Axial plane; Head; Slice index 81; 240x240
FLAIR MRI.
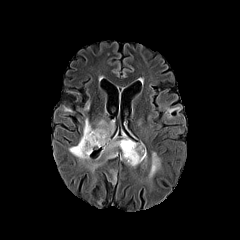
T1-weighted MR image.
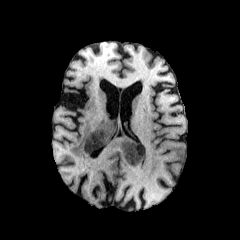
Post-contrast T1-weighted MR image.
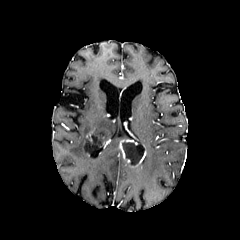
T2-weighted MR image.
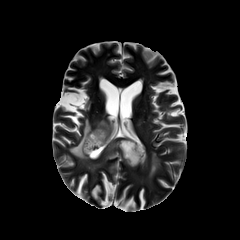
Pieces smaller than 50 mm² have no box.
The 2 largest enhancing tumor regions are located at bbox(130, 144, 146, 167); bbox(119, 139, 137, 163). The 5 largest peritumoral edema regions are located at bbox(69, 118, 114, 160); bbox(109, 168, 117, 184); bbox(82, 101, 90, 110); bbox(102, 135, 119, 159); bbox(149, 152, 160, 178). 3 necrotic tumor core regions are located at bbox(122, 142, 144, 165); bbox(91, 133, 102, 143); bbox(83, 139, 91, 150).